Image covers 240 mm x 240 mm; Brain; Axial view
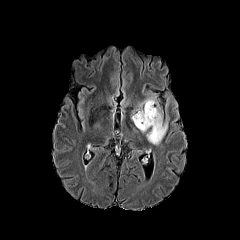
FLAIR magnetic resonance.
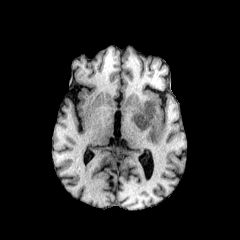
T1-weighted MR.
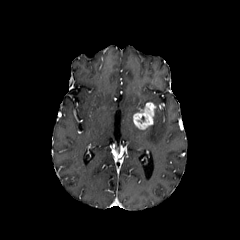
Post-contrast T1-weighted MR image.
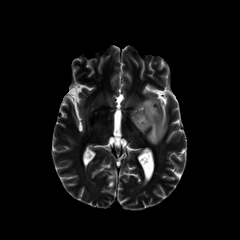
Same slice, T2-weighted magnetic resonance.
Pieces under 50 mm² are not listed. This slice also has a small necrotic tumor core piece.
peritumoral_edema:
  - 139:95:168:144
enhancing_tumor:
  - 133:102:156:129